240x240, Axial plane
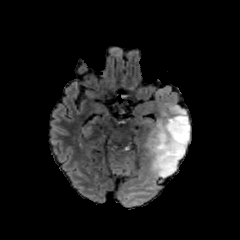
FLAIR MRI.
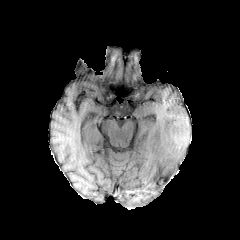
T1-weighted MR image.
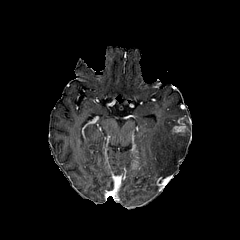
Post-contrast T1-weighted magnetic resonance of the same slice.
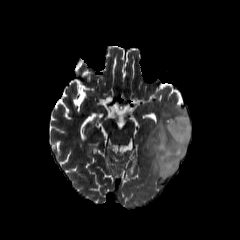
T2-weighted magnetic resonance.
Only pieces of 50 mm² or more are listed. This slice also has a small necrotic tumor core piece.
{
  "peritumoral_edema": [
    "[146,105,190,177]"
  ],
  "enhancing_tumor": [
    "[171,115,188,133]"
  ]
}